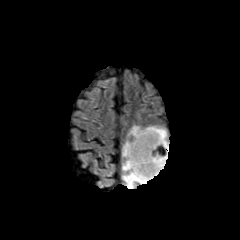
FLAIR MR image.
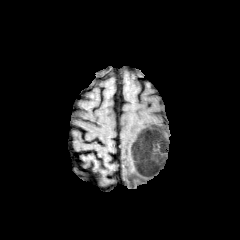
T1-weighted MRI of the same slice.
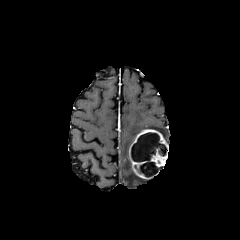
Post-contrast T1-weighted MRI of the same slice.
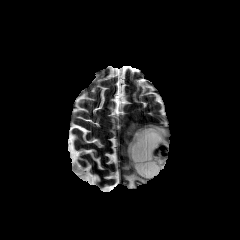
T2-weighted MR of the same slice.
Image size 240x240
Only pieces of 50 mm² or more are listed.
Findings:
• enhancing tumor: [128,129,168,179]
• peritumoral edema: [128,125,168,143], [122,139,148,188]
• necrotic tumor core: [131,133,166,176]